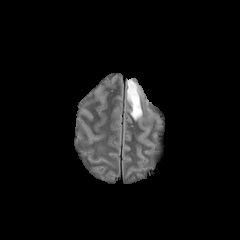
FLAIR MR.
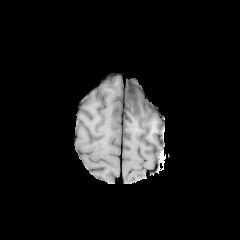
T1-weighted MR of the same slice.
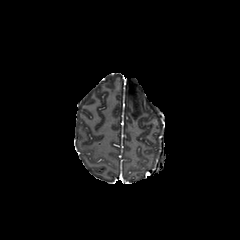
Post-contrast T1-weighted MR.
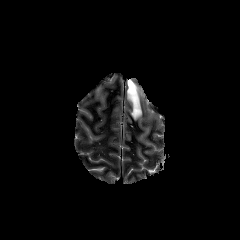
Same slice, T2-weighted MRI.
Axial view, Head
peritumoral edema — box(127, 79, 142, 119)